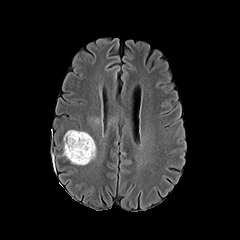
FLAIR magnetic resonance.
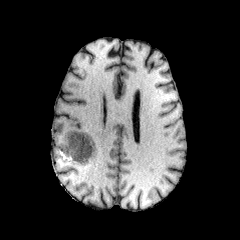
Same slice, T1-weighted MR image.
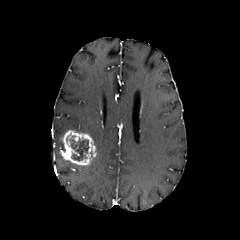
Post-contrast T1-weighted magnetic resonance.
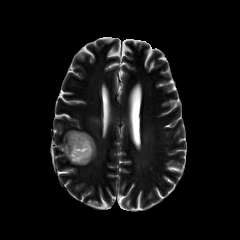
T2-weighted MR of the same slice.
Image size 240x240
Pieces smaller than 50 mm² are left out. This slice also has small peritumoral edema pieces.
necrotic tumor core = <bbox>71, 138, 89, 161</bbox>
enhancing tumor = <bbox>62, 130, 96, 165</bbox>